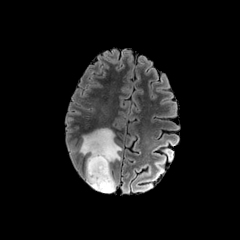
FLAIR MR image.
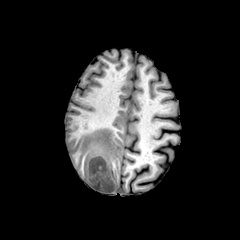
T1-weighted MR image.
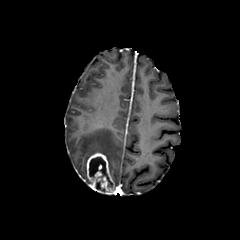
Post-contrast T1-weighted MR.
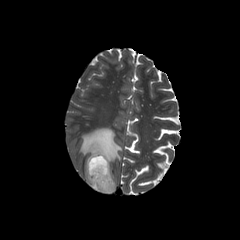
T2-weighted MR image.
Head. Axial view.
{"necrotic_tumor_core": ["89,157,112,186", "95,181,105,191"], "enhancing_tumor": ["86,152,116,193"], "peritumoral_edema": ["79,128,121,186"]}